Brain. Image size 240x240. Axial plane.
FLAIR MRI.
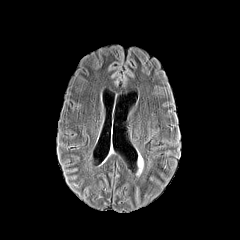
T1-weighted MR.
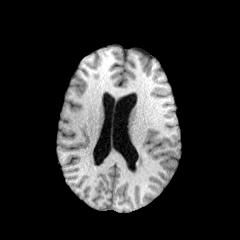
Post-contrast T1-weighted MRI.
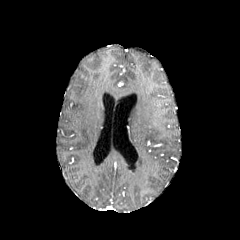
T2-weighted MRI.
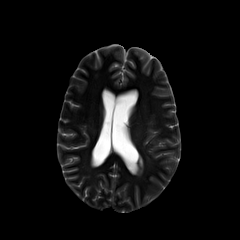
peritumoral edema — x1=138, y1=155, x2=143, y2=173